Slice index 58. 240x240 px.
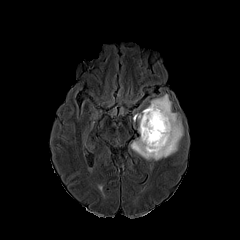
FLAIR MRI.
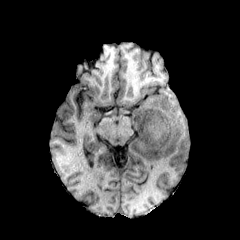
T1-weighted MRI.
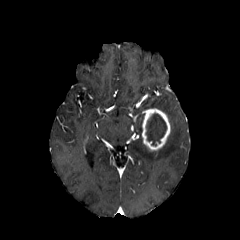
Post-contrast T1-weighted MR image of the same slice.
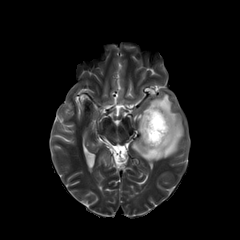
T2-weighted MR of the same slice.
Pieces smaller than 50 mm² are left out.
peritumoral edema: bounding box region(130, 87, 184, 160)
necrotic tumor core: bounding box region(146, 113, 166, 145)
enhancing tumor: bounding box region(141, 108, 170, 151)